Slice 114 of 155. Axial slice. Brain.
FLAIR magnetic resonance.
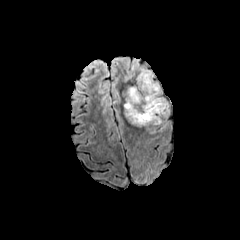
T1-weighted MRI.
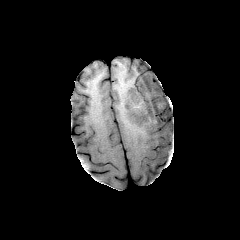
Post-contrast T1-weighted MRI.
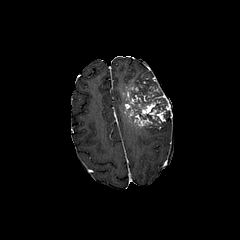
T2-weighted MR image.
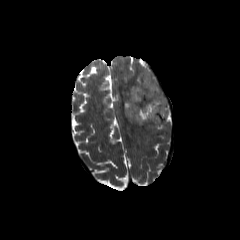
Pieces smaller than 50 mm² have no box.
enhancing tumor — (x1=157, y1=96, x2=170, y2=110), (x1=123, y1=80, x2=171, y2=128), (x1=129, y1=95, x2=141, y2=104)
peritumoral edema — (x1=136, y1=69, x2=158, y2=84), (x1=124, y1=72, x2=134, y2=82)
necrotic tumor core — (x1=130, y1=84, x2=169, y2=120)